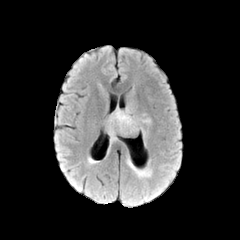
FLAIR magnetic resonance.
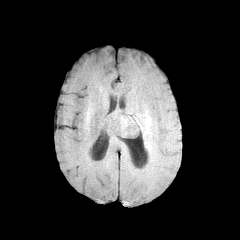
Same slice, T1-weighted MR.
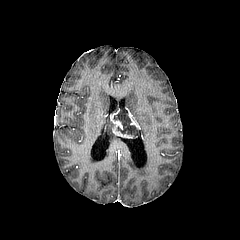
Same slice, post-contrast T1-weighted MRI.
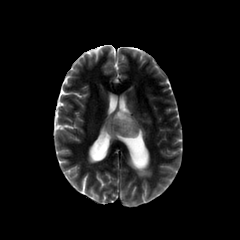
T2-weighted MRI.
240x240 px
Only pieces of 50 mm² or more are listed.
The largest enhancing tumor region is located at x1=110 y1=109 x2=133 y2=137. The 2 largest peritumoral edema regions are located at x1=142 y1=118 x2=152 y2=125, x1=107 y1=116 x2=116 y2=141. The necrotic tumor core is bounded by x1=113 y1=109 x2=137 y2=135.